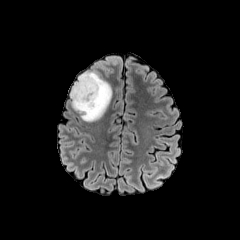
FLAIR MR image.
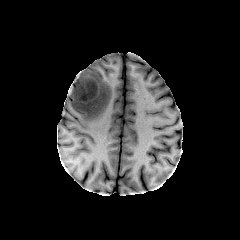
T1-weighted MR image.
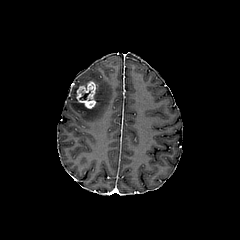
Post-contrast T1-weighted MR of the same slice.
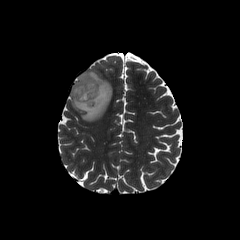
Same slice, T2-weighted magnetic resonance.
240x240, Axial plane
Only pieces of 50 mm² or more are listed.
<segmentation>
  <enhancing_tumor>[x1=76, y1=81, x2=97, y2=108]</enhancing_tumor>
  <necrotic_tumor_core>[x1=79, y1=91, x2=90, y2=99]</necrotic_tumor_core>
  <peritumoral_edema>[x1=70, y1=71, x2=112, y2=122]</peritumoral_edema>
</segmentation>